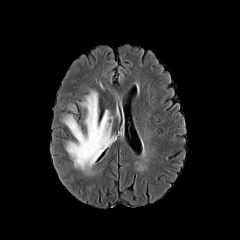
FLAIR MR.
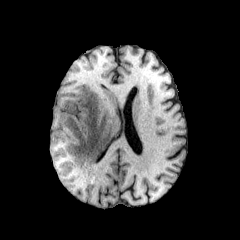
Same slice, T1-weighted MR image.
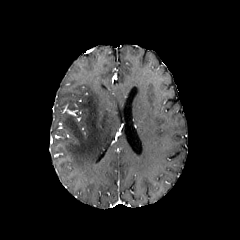
Post-contrast T1-weighted magnetic resonance of the same slice.
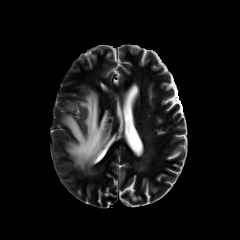
Same slice, T2-weighted magnetic resonance.
240x240 px
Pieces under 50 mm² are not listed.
peritumoral edema: [62, 91, 112, 169]